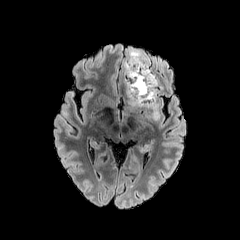
FLAIR MRI.
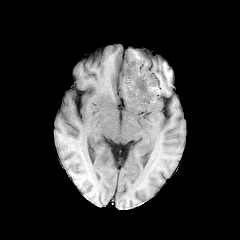
T1-weighted MR.
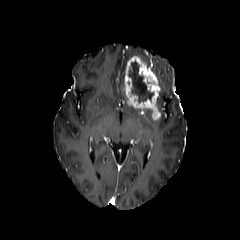
Post-contrast T1-weighted MRI.
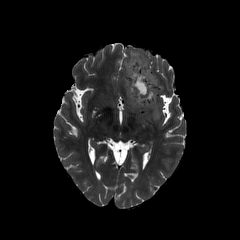
Same slice, T2-weighted magnetic resonance.
Axial slice. Brain.
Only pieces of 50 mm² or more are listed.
peritumoral edema — left=122, top=48, right=149, bottom=81
necrotic tumor core — left=128, top=61, right=153, bottom=102
enhancing tumor — left=124, top=56, right=160, bottom=119